FLAIR MR.
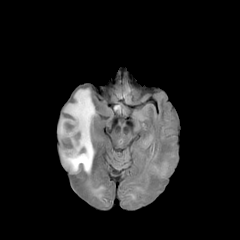
T1-weighted MRI.
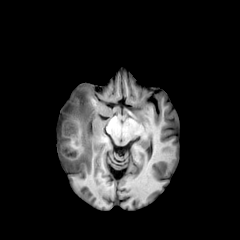
Post-contrast T1-weighted magnetic resonance.
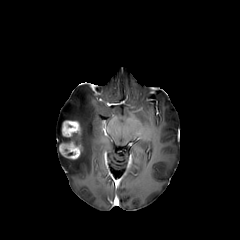
T2-weighted MR.
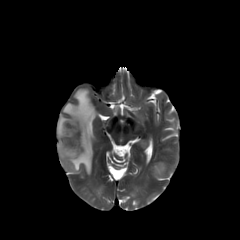
Brain
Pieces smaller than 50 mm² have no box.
Segmented structures:
* peritumoral edema: l=57, t=89, r=95, b=173
* necrotic tumor core: l=60, t=137, r=77, b=145
* enhancing tumor: l=59, t=140, r=81, b=159; l=61, t=120, r=80, b=137